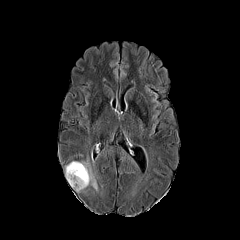
FLAIR MR.
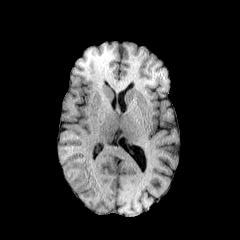
Same slice, T1-weighted MR image.
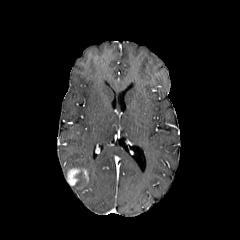
Post-contrast T1-weighted magnetic resonance of the same slice.
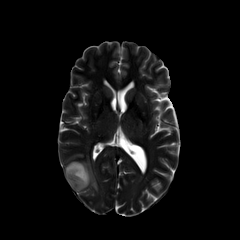
T2-weighted MRI.
Head.
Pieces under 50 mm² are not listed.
{"peritumoral_edema": ["left=65, top=161, right=97, bottom=191"], "enhancing_tumor": ["left=67, top=168, right=88, bottom=185"]}